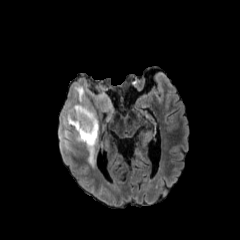
FLAIR MRI.
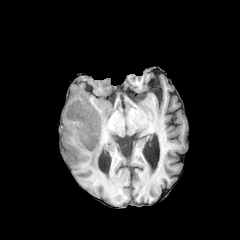
T1-weighted MR.
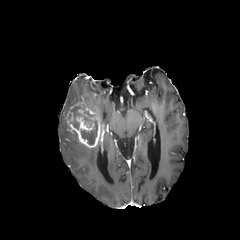
Post-contrast T1-weighted MRI.
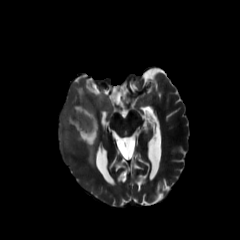
T2-weighted MR image.
240x240 px; Head
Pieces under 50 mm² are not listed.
enhancing tumor = l=65, t=96, r=101, b=149
necrotic tumor core = l=71, t=106, r=81, b=129; l=81, t=120, r=97, b=144
peritumoral edema = l=59, t=84, r=115, b=155; l=86, t=148, r=98, b=169